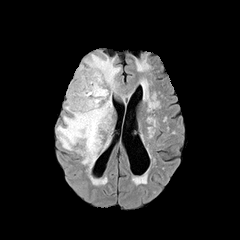
FLAIR MRI.
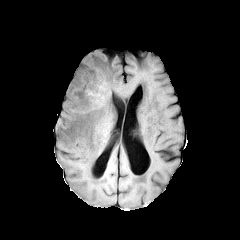
T1-weighted MR.
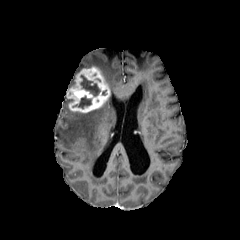
Post-contrast T1-weighted MRI.
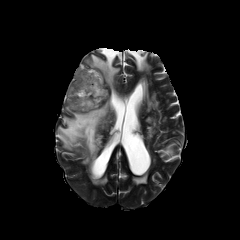
Same slice, T2-weighted MR.
Head
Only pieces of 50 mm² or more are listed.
The 2 largest necrotic tumor core regions are located at {"x1": 81, "y1": 75, "x2": 100, "y2": 96}, {"x1": 75, "y1": 96, "x2": 91, "y2": 108}. The enhancing tumor is bounded by {"x1": 66, "y1": 66, "x2": 110, "y2": 112}. The largest peritumoral edema region is located at {"x1": 57, "y1": 54, "x2": 120, "y2": 169}.